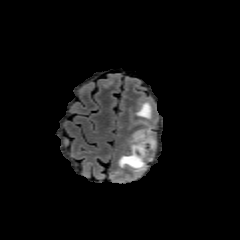
FLAIR MR.
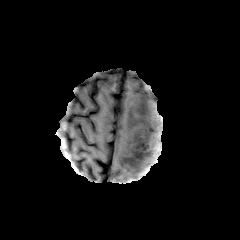
Same slice, T1-weighted MR image.
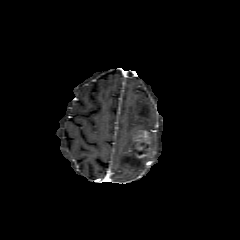
Same slice, post-contrast T1-weighted magnetic resonance.
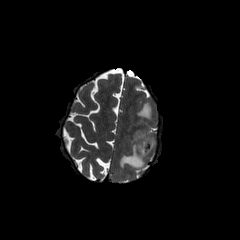
T2-weighted MRI of the same slice.
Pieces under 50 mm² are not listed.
peritumoral edema: box(118, 154, 151, 171); box(129, 101, 157, 129) | enhancing tumor: box(129, 124, 156, 160) | necrotic tumor core: box(133, 142, 148, 154)